Image covers 240 mm x 240 mm. 240x240 px. Head. Slice 58/155.
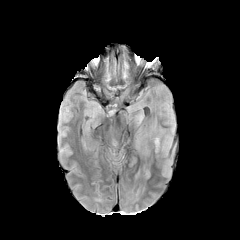
FLAIR MR.
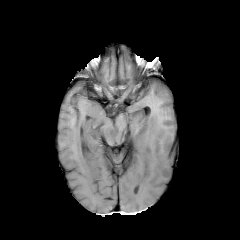
T1-weighted MRI.
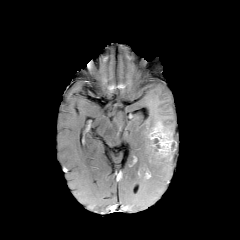
Same slice, post-contrast T1-weighted MRI.
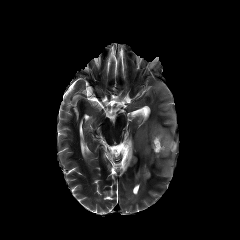
T2-weighted MRI of the same slice.
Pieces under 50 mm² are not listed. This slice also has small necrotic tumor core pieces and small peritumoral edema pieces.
The 2 largest enhancing tumor regions are bounded by left=149, top=126, right=172, bottom=154; left=139, top=167, right=150, bottom=178.